FLAIR MRI.
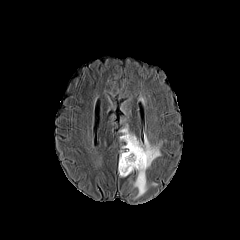
T1-weighted MR image.
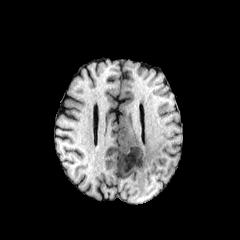
Post-contrast T1-weighted MR.
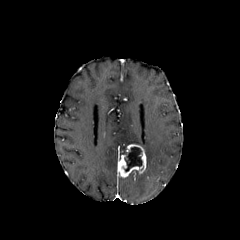
T2-weighted MR.
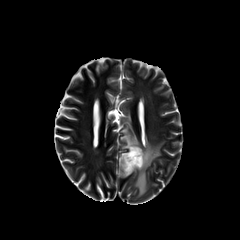
240x240 px, Brain
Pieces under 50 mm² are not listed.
The largest necrotic tumor core region is bounded by (124,147,142,171). 2 peritumoral edema regions are bounded by (120,125,161,169), (133,170,147,197). The enhancing tumor appears at (118,144,146,177).